Head; Image width 240 mm; Slice 37/155; Image size 240x240
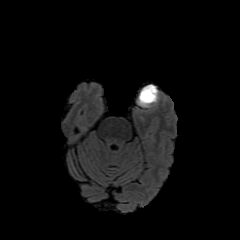
FLAIR magnetic resonance.
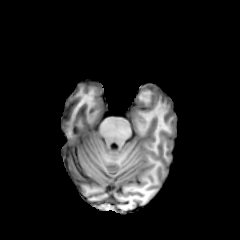
T1-weighted MRI.
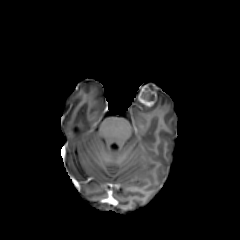
Post-contrast T1-weighted MR image.
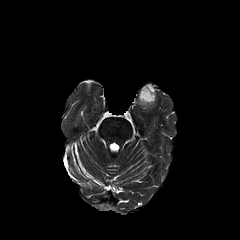
Same slice, T2-weighted magnetic resonance.
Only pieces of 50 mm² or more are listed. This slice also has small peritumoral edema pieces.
Annotated regions:
* enhancing tumor: (138,84,156,107)
* necrotic tumor core: (141,92,154,101)